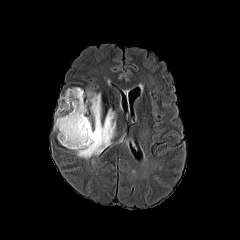
FLAIR MRI.
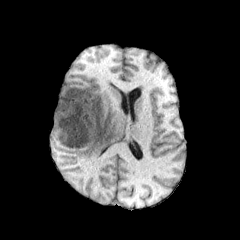
Same slice, T1-weighted MRI.
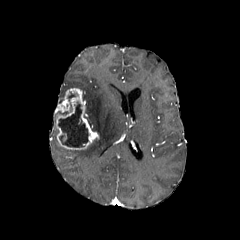
Same slice, post-contrast T1-weighted MRI.
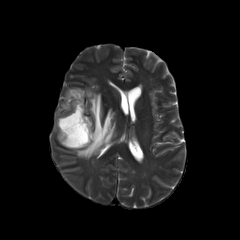
T2-weighted MR.
Head. Axial slice.
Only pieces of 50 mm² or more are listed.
enhancing tumor = l=53, t=88, r=99, b=149
peritumoral edema = l=74, t=90, r=115, b=159
necrotic tumor core = l=58, t=104, r=88, b=147